Image width 240 mm, 1.00 mm slice spacing, Brain, Axial view
FLAIR MR image.
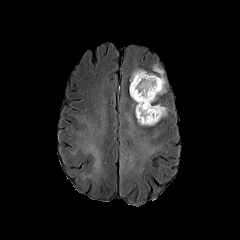
T1-weighted MR.
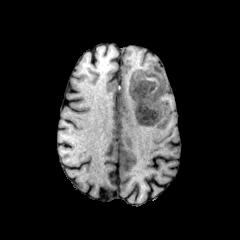
Post-contrast T1-weighted magnetic resonance.
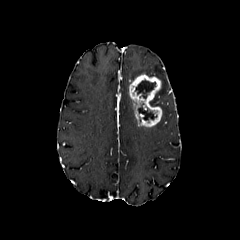
T2-weighted MR image.
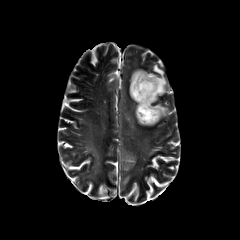
<segmentation>
  <peritumoral_edema>[x1=130, y1=64, x2=166, y2=105], [x1=155, y1=104, x2=168, y2=117]</peritumoral_edema>
  <necrotic_tumor_core>[x1=135, y1=80, x2=155, y2=98], [x1=138, y1=107, x2=156, y2=120]</necrotic_tumor_core>
  <enhancing_tumor>[x1=129, y1=73, x2=162, y2=127]</enhancing_tumor>
</segmentation>